Head.
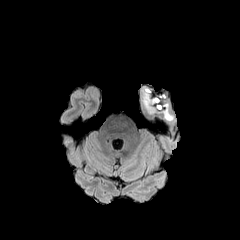
FLAIR MR image.
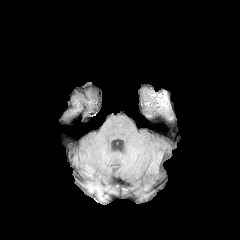
T1-weighted magnetic resonance.
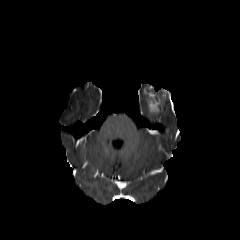
Post-contrast T1-weighted MRI.
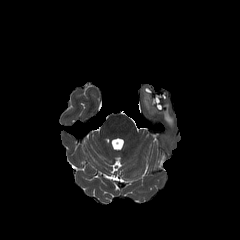
Same slice, T2-weighted MR.
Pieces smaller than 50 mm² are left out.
enhancing tumor: x1=144, y1=88, x2=160, y2=113 | peritumoral edema: x1=164, y1=104, x2=170, y2=120